Brain, Slice index 88
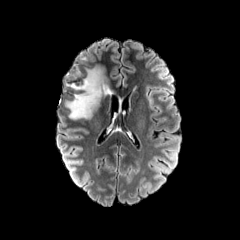
FLAIR MRI.
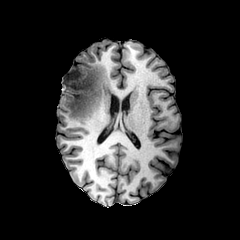
T1-weighted MR image.
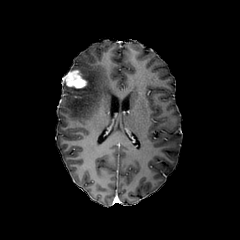
Same slice, post-contrast T1-weighted magnetic resonance.
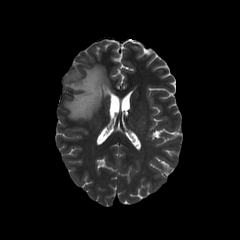
T2-weighted MRI.
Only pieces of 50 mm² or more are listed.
enhancing tumor = [63, 69, 87, 88]
peritumoral edema = [65, 66, 108, 119]